Slice 82/155; Axial slice
FLAIR MRI.
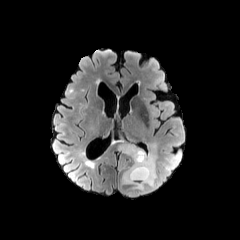
T1-weighted MRI.
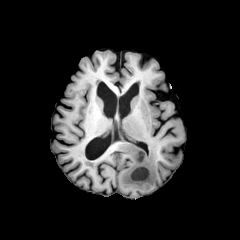
Post-contrast T1-weighted MRI.
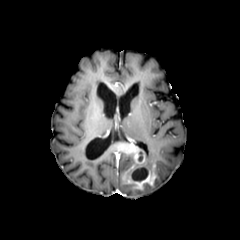
T2-weighted magnetic resonance.
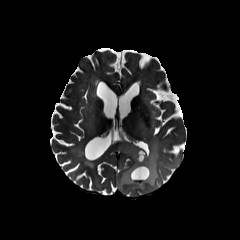
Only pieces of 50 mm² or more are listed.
enhancing tumor: [114,142,156,189]
peritumoral edema: [140,142,157,168], [120,167,161,196]
necrotic tumor core: [131,167,148,181]